Axial slice.
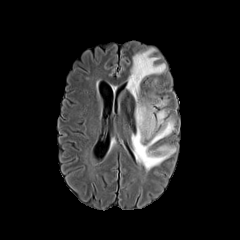
FLAIR MR.
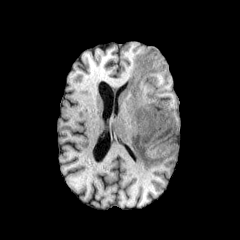
T1-weighted MRI of the same slice.
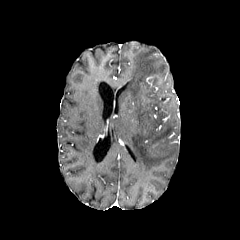
Post-contrast T1-weighted MR image.
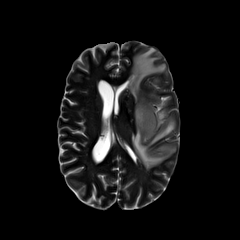
T2-weighted MRI.
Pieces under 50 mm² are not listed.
peritumoral edema: (127, 48, 175, 170)